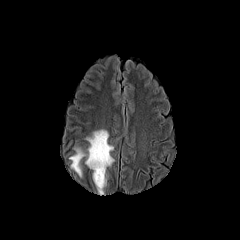
FLAIR MR.
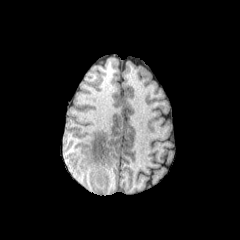
T1-weighted MRI of the same slice.
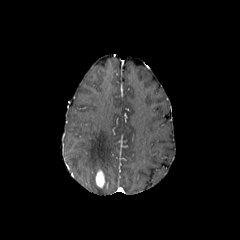
Post-contrast T1-weighted MR image of the same slice.
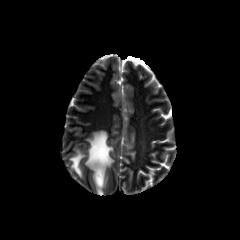
T2-weighted MRI of the same slice.
240x240; Brain; Axial view
Segmented structures:
* peritumoral edema: region(69, 129, 114, 194)
* enhancing tumor: region(95, 169, 105, 187)